Brain
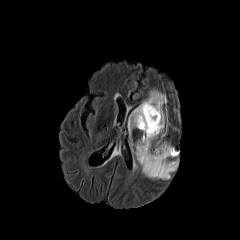
FLAIR MR.
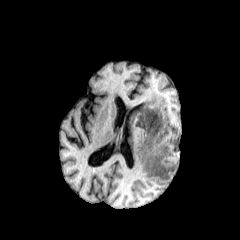
Same slice, T1-weighted MR.
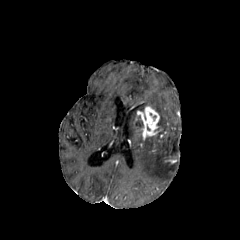
Post-contrast T1-weighted MR image of the same slice.
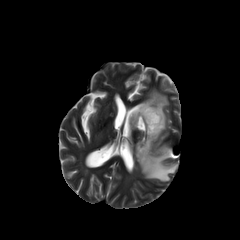
T2-weighted MRI of the same slice.
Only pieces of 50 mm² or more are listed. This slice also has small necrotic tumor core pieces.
{"peritumoral_edema": ["<bbox>128, 90, 178, 180</bbox>"], "enhancing_tumor": ["<bbox>137, 106, 161, 139</bbox>"]}